Axial view, Slice index 99
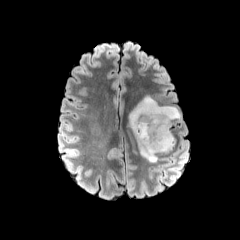
FLAIR MRI.
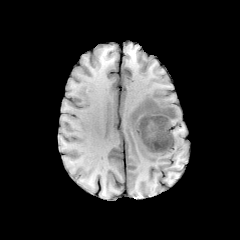
Same slice, T1-weighted MRI.
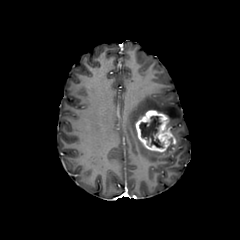
Post-contrast T1-weighted MR image.
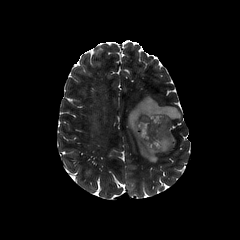
T2-weighted magnetic resonance.
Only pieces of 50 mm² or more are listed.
The necrotic tumor core lies within bbox=[139, 115, 172, 148]. The largest peritumoral edema region is located at bbox=[127, 95, 180, 162]. The largest enhancing tumor region is at bbox=[135, 110, 176, 152].